Axial plane.
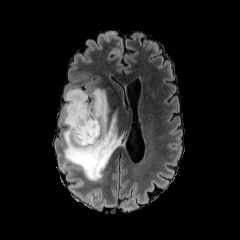
FLAIR MR image.
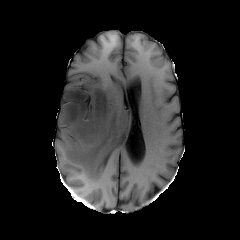
T1-weighted MRI of the same slice.
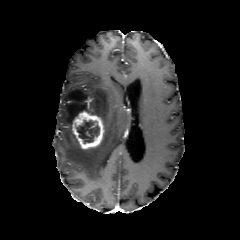
Post-contrast T1-weighted MRI of the same slice.
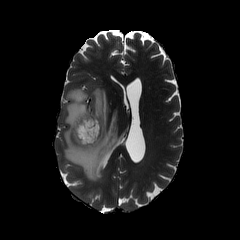
Same slice, T2-weighted MR image.
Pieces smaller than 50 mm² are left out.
The peritumoral edema lies within <box>62,88,121,181</box>. The necrotic tumor core lies within <box>76,120,99,143</box>. The largest enhancing tumor region is bounded by <box>72,111,104,149</box>.